Slice index 76, Image width 240 mm, 1.00 mm slice spacing, Axial view, Brain
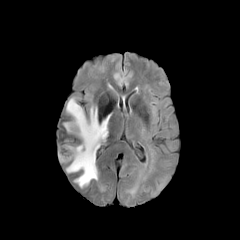
FLAIR MRI.
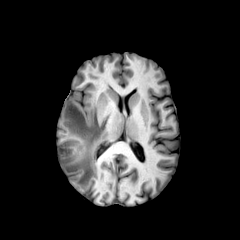
T1-weighted MR of the same slice.
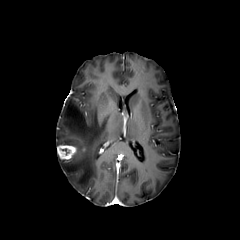
Post-contrast T1-weighted MRI.
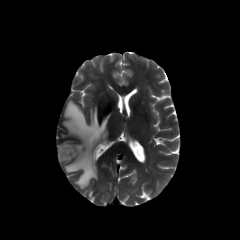
T2-weighted MRI.
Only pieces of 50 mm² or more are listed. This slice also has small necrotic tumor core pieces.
peritumoral edema: 64,99,110,188
enhancing tumor: 57,145,76,160